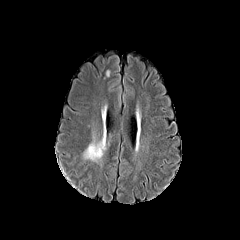
FLAIR MRI.
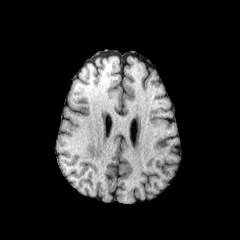
T1-weighted MR image.
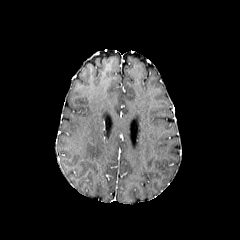
Post-contrast T1-weighted MR of the same slice.
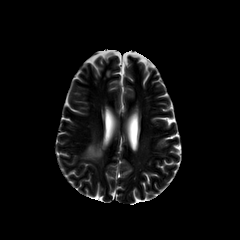
T2-weighted MRI.
Head. 240x240.
<segmentation>
  <peritumoral_edema>83:136:105:161</peritumoral_edema>
</segmentation>